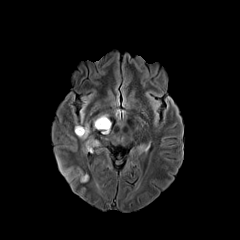
FLAIR MR.
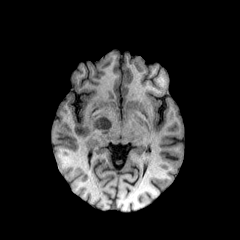
T1-weighted MR image of the same slice.
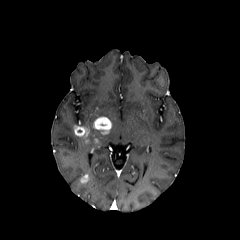
Same slice, post-contrast T1-weighted MR image.
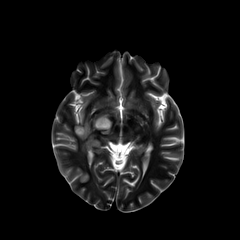
T2-weighted magnetic resonance of the same slice.
Axial plane, Image size 240x240
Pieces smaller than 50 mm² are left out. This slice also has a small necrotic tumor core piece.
The 3 largest enhancing tumor regions are bounded by (74, 126, 90, 137), (93, 116, 111, 134), (80, 174, 88, 182). The largest peritumoral edema region lies within (85, 136, 99, 151).